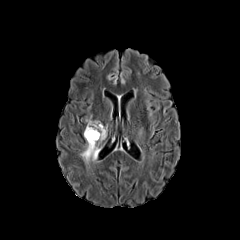
FLAIR MRI.
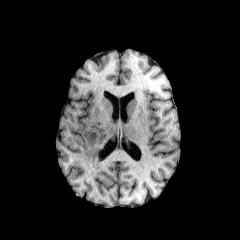
T1-weighted MRI of the same slice.
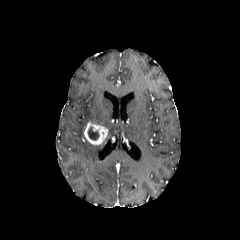
Post-contrast T1-weighted MR image of the same slice.
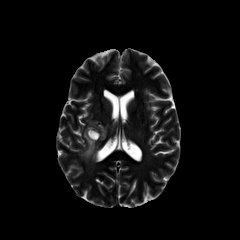
T2-weighted magnetic resonance of the same slice.
240x240 px | Axial plane
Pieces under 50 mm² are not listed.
The necrotic tumor core lies within (88,127,99,140). The enhancing tumor appears at (84,121,107,145). The largest peritumoral edema region appears at (80,141,101,163).